FLAIR MRI.
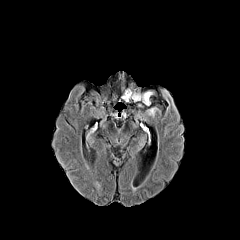
T1-weighted MR image.
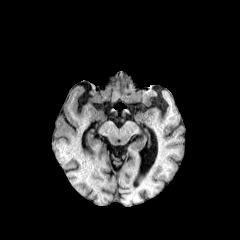
Post-contrast T1-weighted MR.
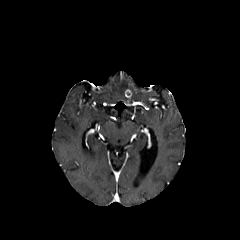
T2-weighted MR image.
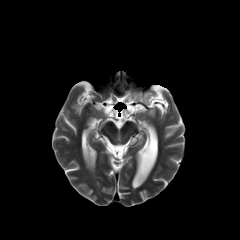
Brain; Axial view
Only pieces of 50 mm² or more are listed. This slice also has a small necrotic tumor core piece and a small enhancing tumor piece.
The 2 largest peritumoral edema regions are located at <box>131,92,152,105</box>, <box>148,108,156,116</box>.